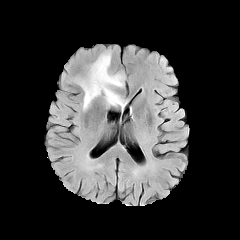
FLAIR MR image.
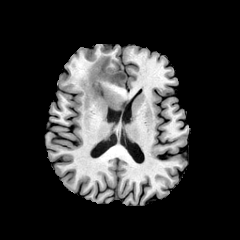
Same slice, T1-weighted magnetic resonance.
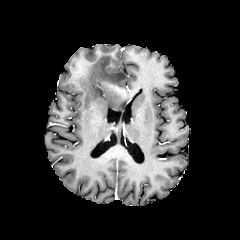
Same slice, post-contrast T1-weighted MR image.
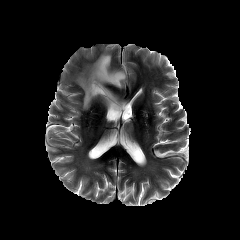
Same slice, T2-weighted MRI.
Head | 240x240
The peritumoral edema is at [x1=76, y1=53, x2=126, y2=110].